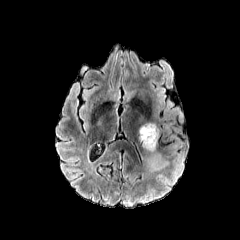
FLAIR MR.
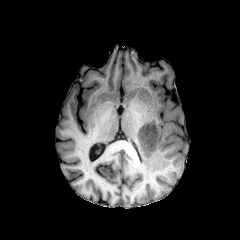
T1-weighted MR image.
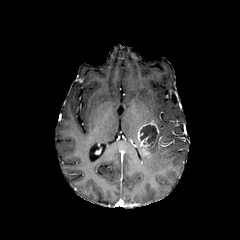
Post-contrast T1-weighted MR image.
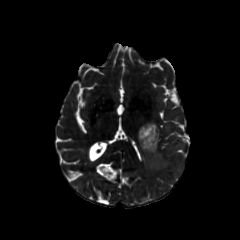
T2-weighted magnetic resonance of the same slice.
Brain. 240x240 px.
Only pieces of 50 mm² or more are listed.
<segmentation>
  <enhancing_tumor>bbox=[137, 121, 159, 157]</enhancing_tumor>
  <peritumoral_edema>bbox=[148, 133, 159, 169]</peritumoral_edema>
  <necrotic_tumor_core>bbox=[140, 125, 157, 145]</necrotic_tumor_core>
</segmentation>